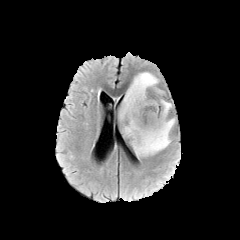
FLAIR magnetic resonance.
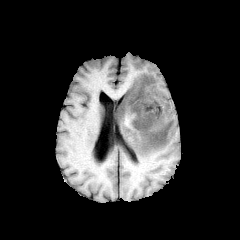
Same slice, T1-weighted MR.
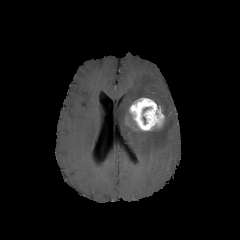
Post-contrast T1-weighted MR of the same slice.
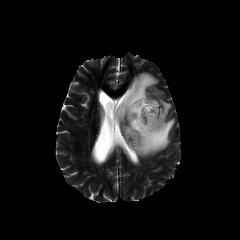
Same slice, T2-weighted MR image.
240x240 px. Brain. Axial slice.
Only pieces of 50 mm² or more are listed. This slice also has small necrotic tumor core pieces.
The enhancing tumor is bounded by bbox(128, 97, 164, 131). The peritumoral edema is located at bbox(118, 72, 175, 158).